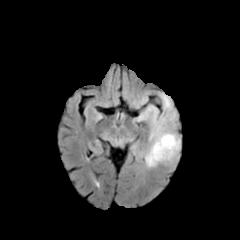
FLAIR magnetic resonance.
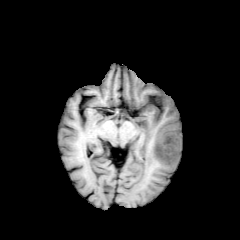
T1-weighted MR image.
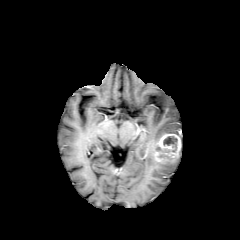
Post-contrast T1-weighted MRI.
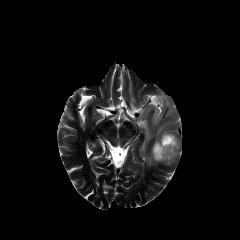
T2-weighted MRI.
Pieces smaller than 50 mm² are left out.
The enhancing tumor lies within l=153, t=133, r=181, b=162. The largest peritumoral edema region lies within l=133, t=92, r=180, b=167. The largest necrotic tumor core region is bounded by l=163, t=136, r=177, b=151.